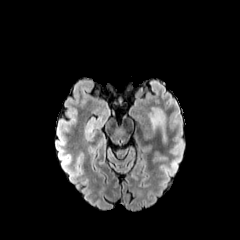
FLAIR MR image.
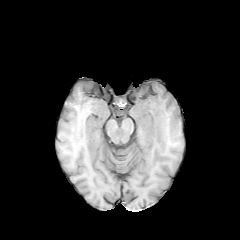
Same slice, T1-weighted MR image.
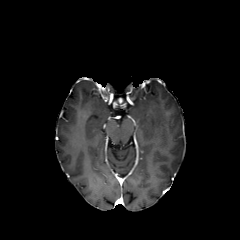
Post-contrast T1-weighted MR image.
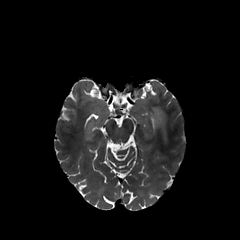
Same slice, T2-weighted MR image.
Axial plane | Image size 240x240
• peritumoral edema: [148,106,166,142]